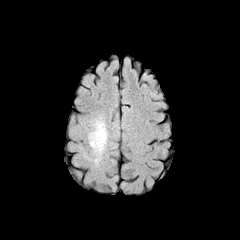
FLAIR magnetic resonance.
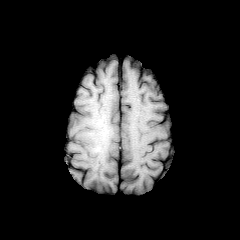
Same slice, T1-weighted magnetic resonance.
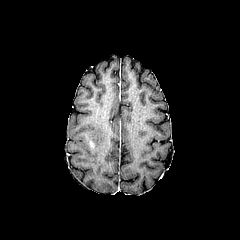
Post-contrast T1-weighted magnetic resonance.
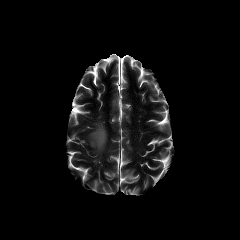
T2-weighted MR image.
Axial slice | Image size 240x240
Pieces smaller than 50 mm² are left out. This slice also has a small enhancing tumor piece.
Findings:
- peritumoral edema: left=88, top=118, right=107, bottom=168